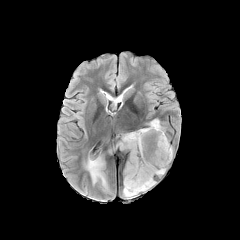
FLAIR MR image.
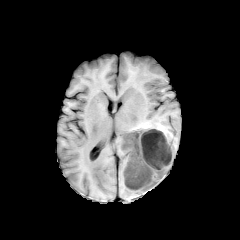
T1-weighted MR.
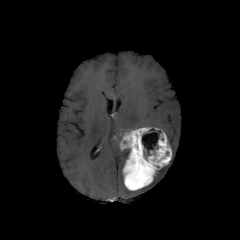
Same slice, post-contrast T1-weighted MR.
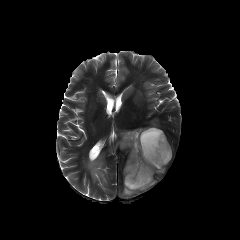
T2-weighted MR.
Head
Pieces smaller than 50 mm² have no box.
enhancing tumor — <bbox>120, 127, 172, 190</bbox>
peritumoral edema — <bbox>86, 157, 106, 187</bbox>, <bbox>123, 180, 155, 198</bbox>, <bbox>149, 119, 162, 130</bbox>, <bbox>156, 167, 165, 175</bbox>
necrotic tumor core — <bbox>142, 128, 161, 155</bbox>